FLAIR MRI.
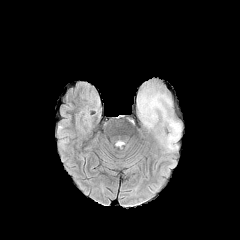
T1-weighted MRI.
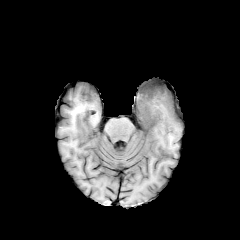
Post-contrast T1-weighted MRI.
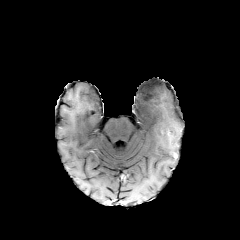
T2-weighted MRI.
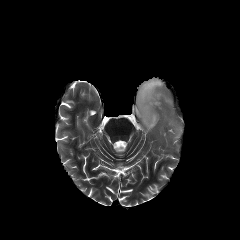
Axial plane | Brain
The peritumoral edema appears at l=133, t=78, r=181, b=153.